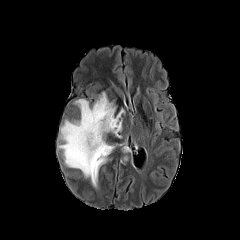
FLAIR MRI.
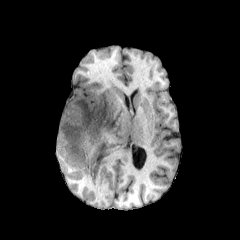
Same slice, T1-weighted MRI.
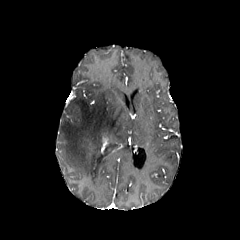
Post-contrast T1-weighted MR.
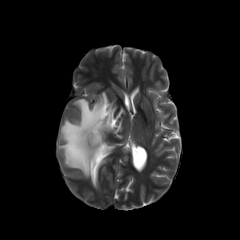
Same slice, T2-weighted MR image.
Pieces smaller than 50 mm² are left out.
peritumoral edema — 58 92 124 187